FLAIR MR.
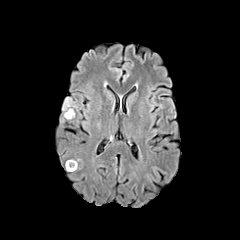
T1-weighted MRI.
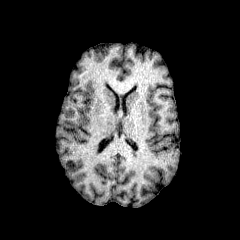
Post-contrast T1-weighted MRI.
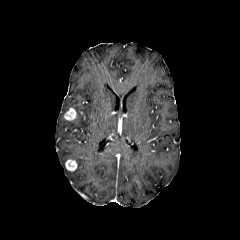
T2-weighted MRI.
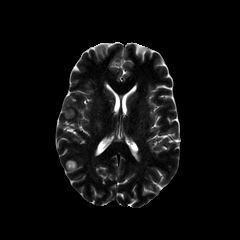
Head
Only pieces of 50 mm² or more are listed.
{"peritumoral_edema": ["62:98:77:113"], "enhancing_tumor": ["64:108:76:120", "65:159:77:171"]}